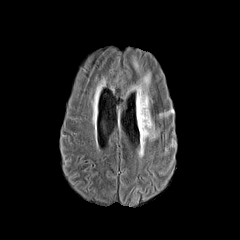
FLAIR magnetic resonance.
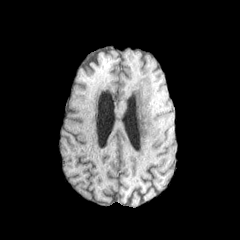
T1-weighted magnetic resonance.
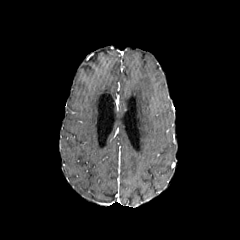
Same slice, post-contrast T1-weighted magnetic resonance.
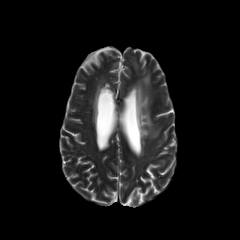
T2-weighted magnetic resonance of the same slice.
Axial slice, Head
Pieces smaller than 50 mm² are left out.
peritumoral_edema:
  - region(132, 73, 156, 154)